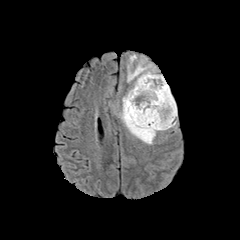
FLAIR magnetic resonance.
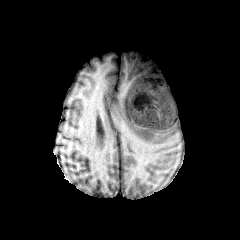
T1-weighted MR image of the same slice.
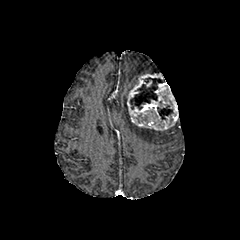
Post-contrast T1-weighted MR of the same slice.
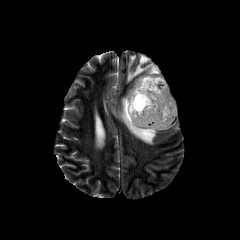
T2-weighted magnetic resonance.
Axial slice.
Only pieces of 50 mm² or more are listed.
The 2 largest necrotic tumor core regions appear at region(130, 77, 164, 109); region(157, 105, 173, 119). The 2 largest peritumoral edema regions are bounded by region(119, 94, 157, 144); region(127, 55, 157, 82). The enhancing tumor is located at region(126, 73, 177, 130).